FLAIR magnetic resonance.
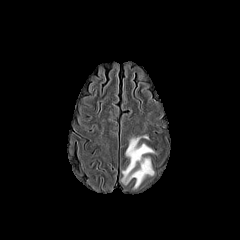
T1-weighted magnetic resonance.
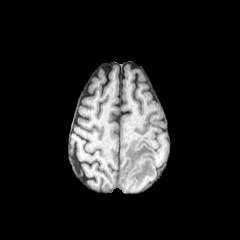
Post-contrast T1-weighted magnetic resonance.
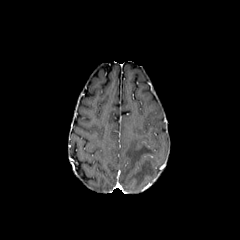
T2-weighted MR.
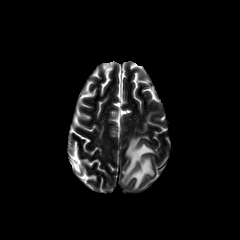
Brain; Axial slice
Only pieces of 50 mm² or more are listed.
peritumoral edema: (left=122, top=137, right=154, bottom=188)